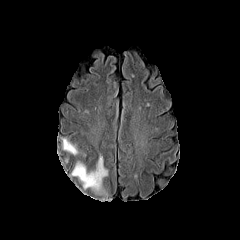
FLAIR MR.
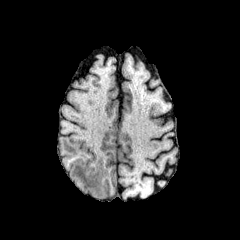
Same slice, T1-weighted MR.
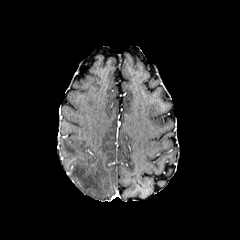
Post-contrast T1-weighted magnetic resonance of the same slice.
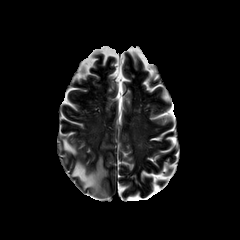
T2-weighted MR.
Head | Axial view
- peritumoral edema: (x1=72, y1=155, x2=108, y2=196), (x1=62, y1=139, x2=78, y2=155)